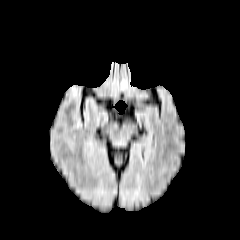
FLAIR MR image.
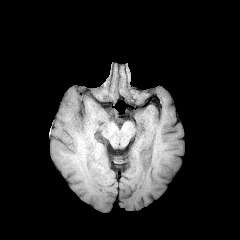
Same slice, T1-weighted MR image.
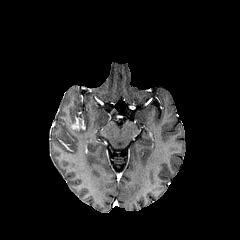
Post-contrast T1-weighted MR image of the same slice.
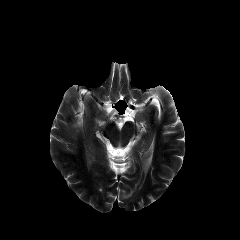
T2-weighted MR image.
Head; Axial plane
{"enhancing_tumor": ["70:118:84:130"]}